FLAIR magnetic resonance.
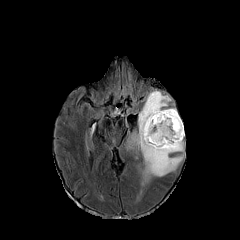
T1-weighted MR image.
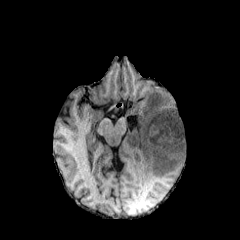
Post-contrast T1-weighted magnetic resonance.
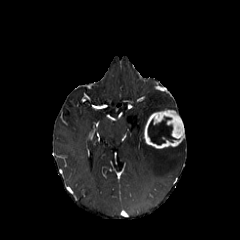
T2-weighted magnetic resonance.
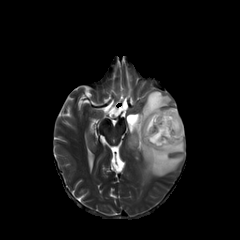
Axial view. 240x240 px.
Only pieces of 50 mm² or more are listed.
peritumoral edema: x1=127 y1=90 x2=184 y2=184
necrotic tumor core: x1=148 y1=117 x2=176 y2=144
enhancing tumor: x1=144 y1=109 x2=184 y2=148